FLAIR MR.
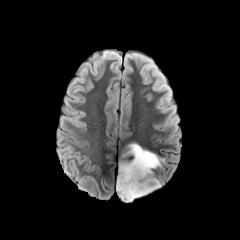
T1-weighted MR image.
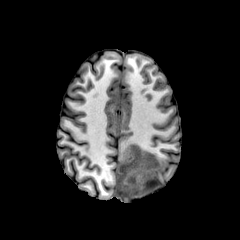
Post-contrast T1-weighted MRI.
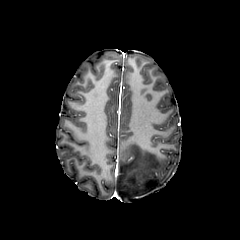
T2-weighted MR.
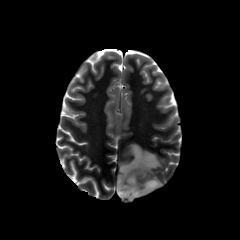
240x240 px, Axial plane
peritumoral_edema:
  - rect(116, 143, 164, 201)